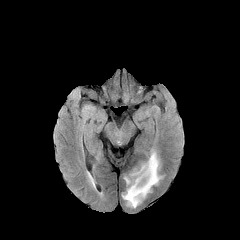
FLAIR magnetic resonance.
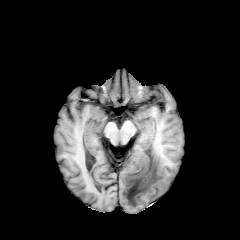
Same slice, T1-weighted MRI.
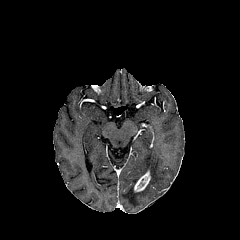
Post-contrast T1-weighted magnetic resonance.
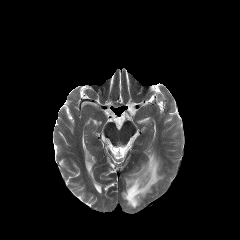
T2-weighted MR image.
240x240 | Brain
peritumoral edema: <bbox>122, 150, 162, 207</bbox> | enhancing tumor: <bbox>134, 170, 150, 192</bbox>